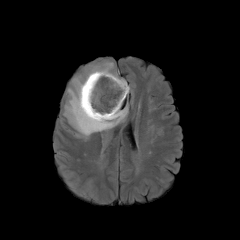
FLAIR MRI.
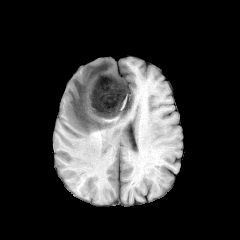
T1-weighted MR image of the same slice.
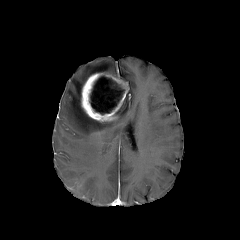
Post-contrast T1-weighted MR image of the same slice.
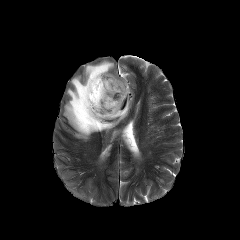
T2-weighted MR.
Brain. Axial plane.
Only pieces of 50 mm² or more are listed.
• peritumoral edema: left=63, top=60, right=128, bottom=139
• enhancing tumor: left=81, top=72, right=129, bottom=122
• necrotic tumor core: left=90, top=76, right=122, bottom=114